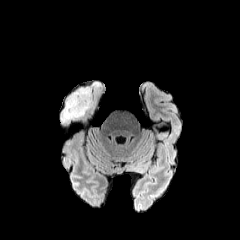
FLAIR MRI.
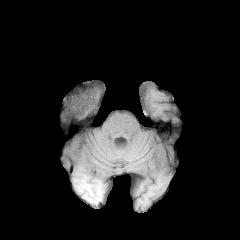
Same slice, T1-weighted MR image.
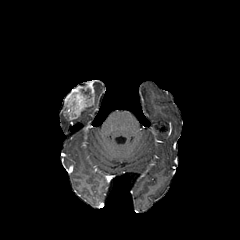
Post-contrast T1-weighted MR.
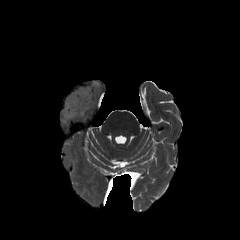
T2-weighted MRI.
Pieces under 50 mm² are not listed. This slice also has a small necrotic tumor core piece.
Findings:
* peritumoral edema: [x1=93, y1=81, x2=100, y2=100]
* enhancing tumor: [x1=64, y1=82, x2=94, y2=119]